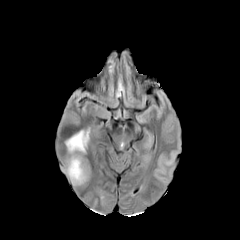
FLAIR MRI.
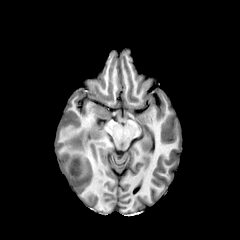
T1-weighted MRI of the same slice.
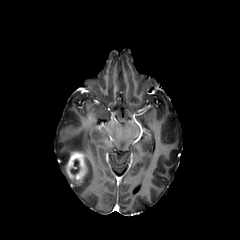
Post-contrast T1-weighted MR.
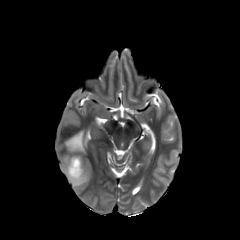
T2-weighted magnetic resonance of the same slice.
240x240 px
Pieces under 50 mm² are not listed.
enhancing tumor = region(65, 152, 86, 183)
necrotic tumor core = region(70, 160, 79, 174)
peritumoral edema = region(65, 130, 88, 155); region(70, 174, 88, 186)